FLAIR magnetic resonance.
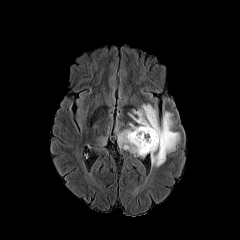
T1-weighted MR.
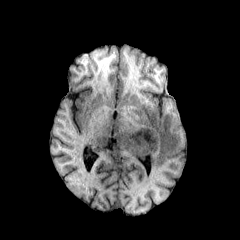
Post-contrast T1-weighted MRI.
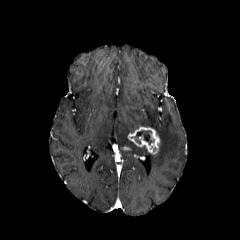
T2-weighted magnetic resonance.
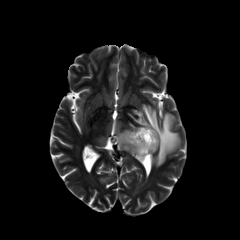
Segmented structures:
- peritumoral edema: (115, 121, 147, 156), (100, 126, 109, 144), (129, 104, 180, 166)
- necrotic tumor core: (134, 131, 154, 144)
- enhancing tumor: (127, 126, 160, 154)